FLAIR MRI.
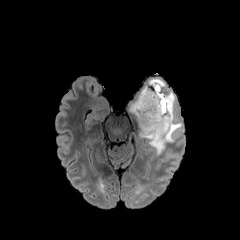
T1-weighted MR image.
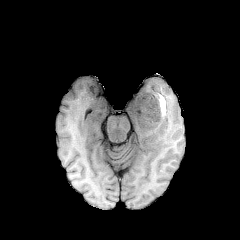
Post-contrast T1-weighted MR image.
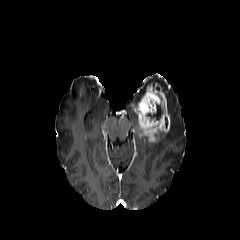
T2-weighted magnetic resonance.
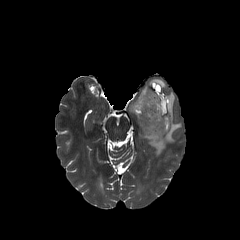
240x240.
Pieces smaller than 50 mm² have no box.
Annotated regions:
- necrotic tumor core: bbox=[147, 94, 165, 119]
- enhancing tumor: bbox=[132, 83, 170, 143]
- peritumoral edema: bbox=[135, 78, 165, 102]; bbox=[140, 91, 182, 154]